FLAIR MR.
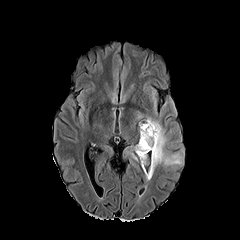
T1-weighted MR.
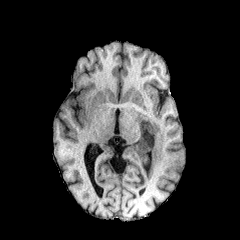
Post-contrast T1-weighted MRI.
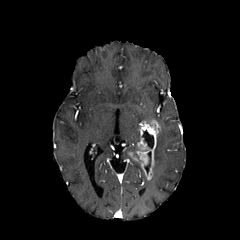
T2-weighted magnetic resonance.
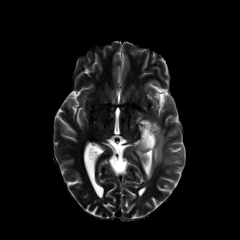
Axial view; Brain; 240x240
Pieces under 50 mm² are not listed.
<segmentation>
  <peritumoral_edema>(x1=152, y1=127, x2=181, y2=172)</peritumoral_edema>
  <necrotic_tumor_core>(x1=142, y1=130, x2=153, y2=148)</necrotic_tumor_core>
  <enhancing_tumor>(x1=136, y1=120, x2=160, y2=179)</enhancing_tumor>
</segmentation>